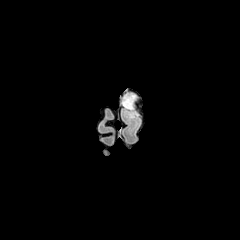
FLAIR MR.
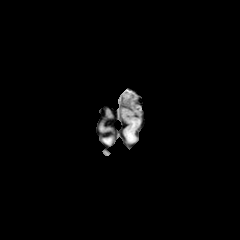
Same slice, T1-weighted MR image.
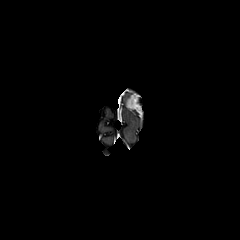
Post-contrast T1-weighted MR image.
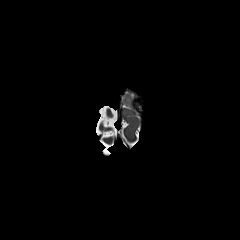
T2-weighted MR image.
Image size 240x240
{
  "peritumoral_edema": [
    "left=122, top=94, right=137, bottom=119"
  ],
  "enhancing_tumor": [
    "left=126, top=95, right=137, bottom=109"
  ]
}